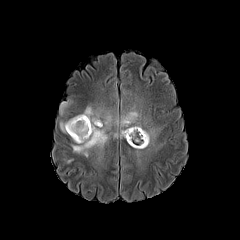
FLAIR MRI.
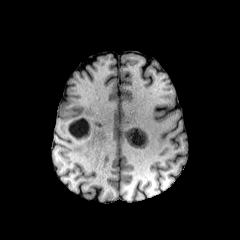
T1-weighted MRI.
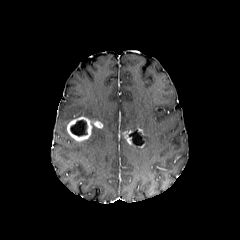
Post-contrast T1-weighted magnetic resonance of the same slice.
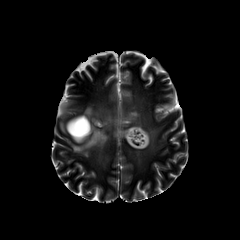
Same slice, T2-weighted MR.
Axial slice
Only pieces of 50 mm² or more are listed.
{"enhancing_tumor": ["[122,127,145,147]", "[66,116,102,142]"], "necrotic_tumor_core": ["[129,131,144,145]", "[70,120,86,136]"], "peritumoral_edema": ["[136,128,157,148]", "[60,106,118,156]", "[60,102,69,114]", "[121,110,141,136]"]}